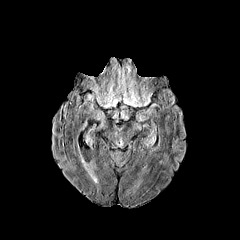
FLAIR magnetic resonance.
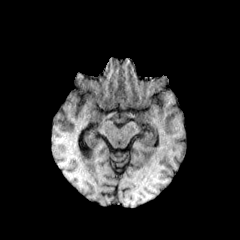
T1-weighted MRI.
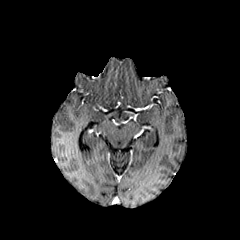
Post-contrast T1-weighted MRI.
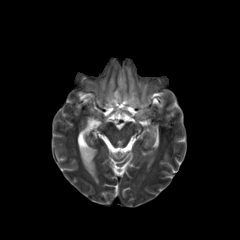
Same slice, T2-weighted MR.
Head | Axial plane
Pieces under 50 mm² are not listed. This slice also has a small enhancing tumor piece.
peritumoral edema: rect(90, 65, 152, 107)